Image width 240 mm; Slice index 56; 240x240 px
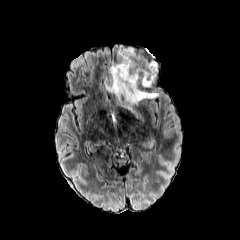
FLAIR MR.
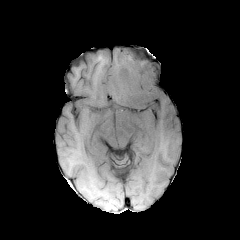
T1-weighted MRI of the same slice.
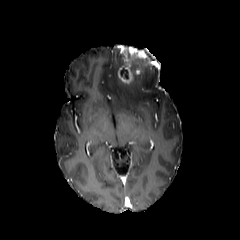
Post-contrast T1-weighted magnetic resonance of the same slice.
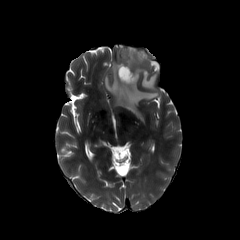
T2-weighted MRI of the same slice.
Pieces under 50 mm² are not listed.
The 2 largest peritumoral edema regions are located at bbox=[105, 49, 158, 113]; bbox=[141, 68, 155, 87]. The enhancing tumor appears at bbox=[118, 46, 155, 84]. The largest necrotic tumor core region appears at bbox=[120, 68, 128, 78].